FLAIR MR.
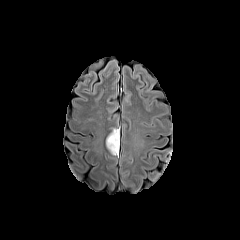
T1-weighted magnetic resonance.
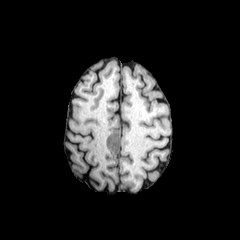
Post-contrast T1-weighted magnetic resonance.
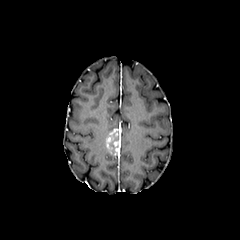
T2-weighted MRI.
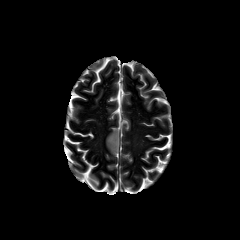
Axial plane | Head
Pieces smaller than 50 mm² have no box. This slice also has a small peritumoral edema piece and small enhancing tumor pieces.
necrotic_tumor_core:
  - rect(109, 131, 119, 154)